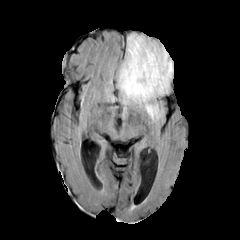
FLAIR MR image.
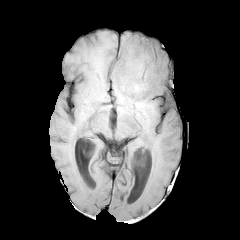
T1-weighted magnetic resonance of the same slice.
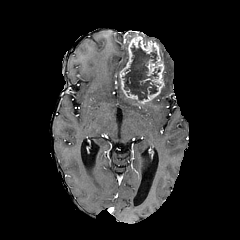
Post-contrast T1-weighted MR image.
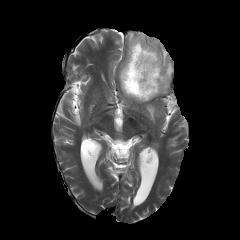
T2-weighted MR.
240x240
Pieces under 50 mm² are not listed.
{
  "enhancing_tumor": [
    "<bbox>119, 33, 164, 103</bbox>"
  ],
  "necrotic_tumor_core": [
    "<bbox>123, 41, 160, 100</bbox>"
  ],
  "peritumoral_edema": [
    "<bbox>118, 73, 159, 120</bbox>",
    "<bbox>160, 47, 173, 94</bbox>",
    "<bbox>119, 33, 136, 72</bbox>"
  ]
}